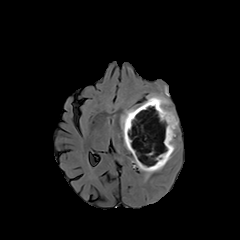
FLAIR MR image.
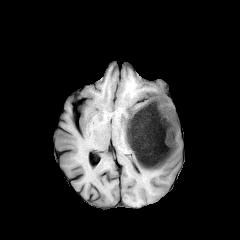
Same slice, T1-weighted magnetic resonance.
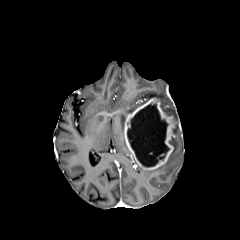
Post-contrast T1-weighted MRI.
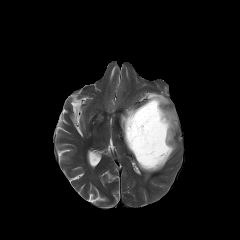
T2-weighted MR image of the same slice.
Brain
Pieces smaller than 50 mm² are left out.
enhancing tumor: [124, 98, 176, 170] | peritumoral edema: [138, 164, 165, 177], [147, 93, 178, 134], [120, 107, 137, 148] | necrotic tumor core: [127, 103, 169, 167]